FLAIR MRI.
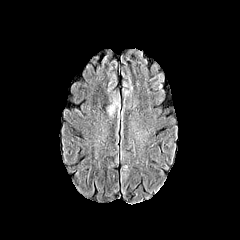
T1-weighted MR.
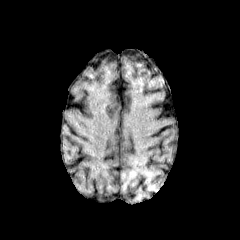
Post-contrast T1-weighted MR.
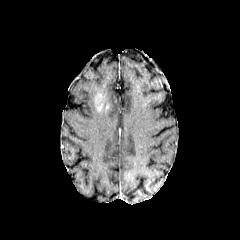
T2-weighted MR image.
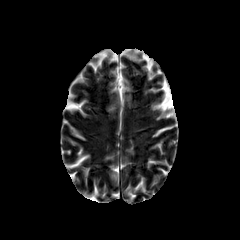
peritumoral edema = (left=108, top=104, right=115, bottom=116)